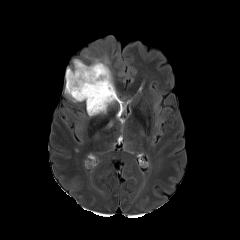
FLAIR MR image.
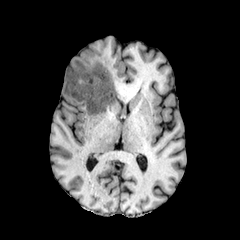
T1-weighted MRI of the same slice.
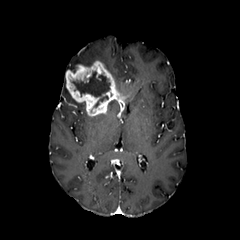
Post-contrast T1-weighted MR.
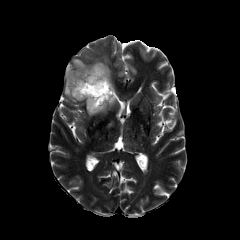
T2-weighted magnetic resonance.
Axial plane. Head.
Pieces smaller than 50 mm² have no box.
necrotic tumor core — [72,72,109,96]
enhancing tumor — [65,60,126,116]
peritumoral edema — [64,85,75,102], [67,59,90,72], [93,56,111,73]